Axial view; Head
FLAIR magnetic resonance.
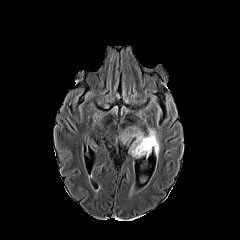
T1-weighted MR image.
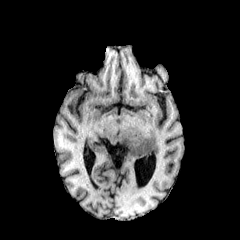
Post-contrast T1-weighted MR image.
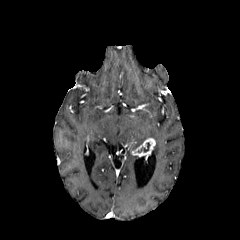
T2-weighted MR.
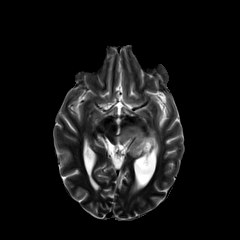
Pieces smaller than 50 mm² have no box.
necrotic tumor core: 138 142 150 152
peritumoral edema: 120 127 159 155
enhancing tumor: 131 138 155 156